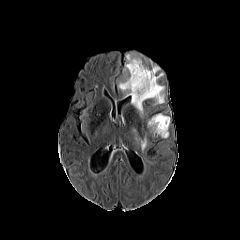
FLAIR MR.
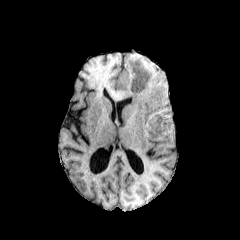
T1-weighted MR image.
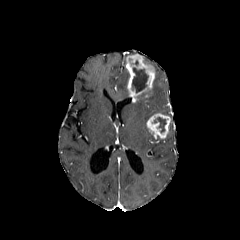
Post-contrast T1-weighted MRI.
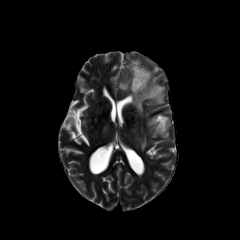
T2-weighted MR of the same slice.
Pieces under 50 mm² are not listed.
peritumoral edema: bounding box rect(118, 63, 129, 94); rect(132, 73, 164, 117); rect(135, 136, 146, 150)
enhancing tumor: bounding box rect(146, 113, 170, 138); rect(126, 54, 155, 102)
necrotic tumor core: bounding box rect(154, 117, 166, 132); rect(132, 67, 148, 92)